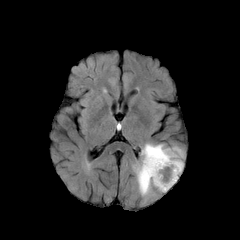
FLAIR MRI.
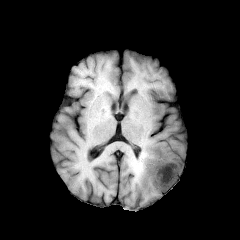
Same slice, T1-weighted MRI.
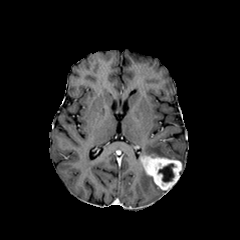
Post-contrast T1-weighted MR image of the same slice.
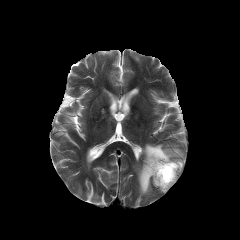
T2-weighted magnetic resonance of the same slice.
240x240, Brain
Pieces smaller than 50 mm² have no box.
<segmentation>
  <necrotic_tumor_core>x1=158 y1=164 x2=173 y2=182</necrotic_tumor_core>
  <enhancing_tumor>x1=142 y1=156 x2=182 y2=190</enhancing_tumor>
  <peritumoral_edema>x1=136 y1=160 x2=157 y2=195, x1=141 y1=143 x2=184 y2=166</peritumoral_edema>
</segmentation>